Image size 240x240, Slice 107/155
FLAIR MRI.
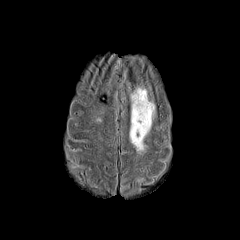
T1-weighted MRI.
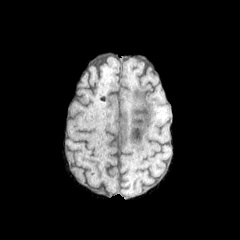
Post-contrast T1-weighted magnetic resonance.
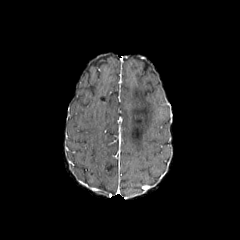
T2-weighted MRI.
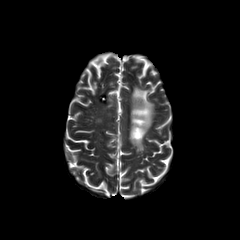
The peritumoral edema appears at 129, 86, 154, 151.